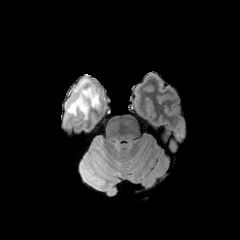
FLAIR MR.
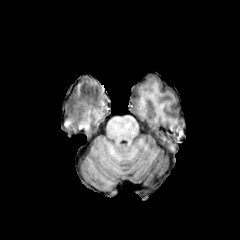
Same slice, T1-weighted MRI.
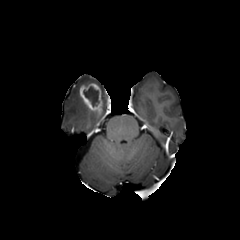
Same slice, post-contrast T1-weighted MR image.
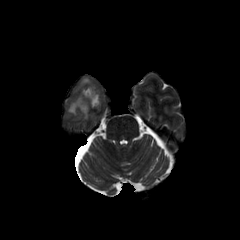
Same slice, T2-weighted MR image.
Head | 240x240 px
<segmentation>
  <enhancing_tumor>{"x1": 79, "y1": 83, "x2": 102, "y2": 113}</enhancing_tumor>
  <peritumoral_edema>{"x1": 66, "y1": 77, "x2": 92, "y2": 119}</peritumoral_edema>
  <necrotic_tumor_core>{"x1": 83, "y1": 86, "x2": 99, "y2": 106}</necrotic_tumor_core>
</segmentation>